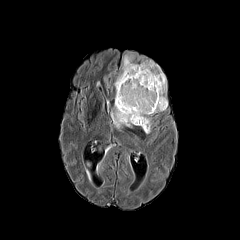
FLAIR MR image.
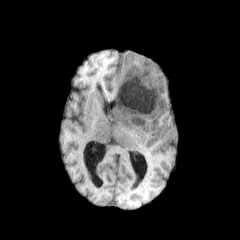
T1-weighted magnetic resonance.
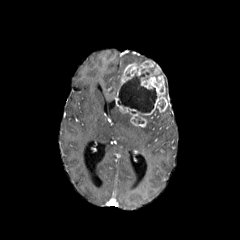
Same slice, post-contrast T1-weighted magnetic resonance.
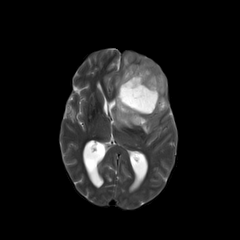
T2-weighted MRI of the same slice.
240x240 px
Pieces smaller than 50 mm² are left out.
{
  "necrotic_tumor_core": [
    "bbox=[118, 72, 156, 112]"
  ],
  "enhancing_tumor": [
    "bbox=[115, 60, 167, 127]"
  ],
  "peritumoral_edema": [
    "bbox=[110, 105, 132, 128]",
    "bbox=[122, 54, 132, 70]",
    "bbox=[114, 74, 121, 92]",
    "bbox=[143, 116, 151, 133]"
  ]
}